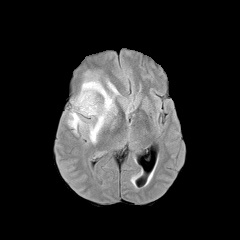
FLAIR MR.
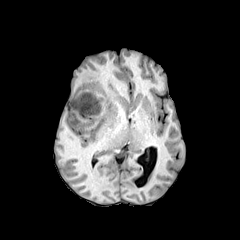
T1-weighted magnetic resonance.
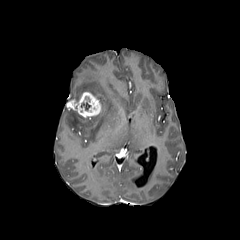
Post-contrast T1-weighted magnetic resonance of the same slice.
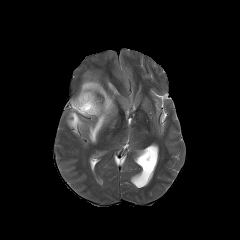
Same slice, T2-weighted magnetic resonance.
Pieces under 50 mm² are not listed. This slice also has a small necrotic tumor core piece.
{
  "enhancing_tumor": [
    {"x1": 67, "y1": 92, "x2": 101, "y2": 117}
  ],
  "peritumoral_edema": [
    {"x1": 68, "y1": 110, "x2": 84, "y2": 132},
    {"x1": 107, "y1": 81, "x2": 118, "y2": 95},
    {"x1": 75, "y1": 79, "x2": 114, "y2": 142}
  ]
}